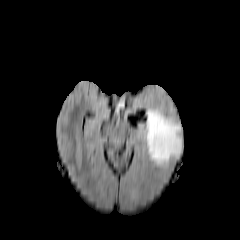
FLAIR magnetic resonance.
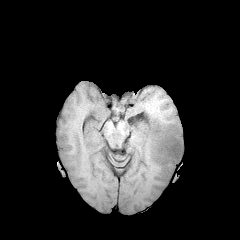
T1-weighted MRI.
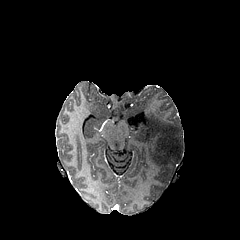
Post-contrast T1-weighted MR image.
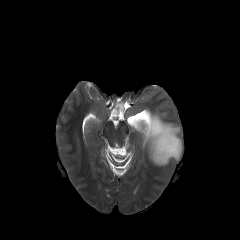
T2-weighted MR of the same slice.
240x240
The peritumoral edema is located at rect(140, 107, 182, 166).